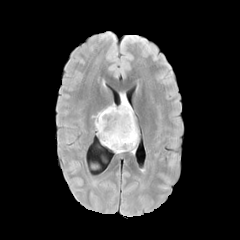
FLAIR magnetic resonance.
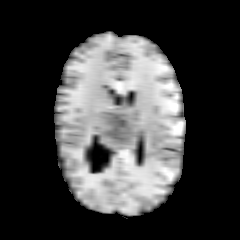
T1-weighted magnetic resonance of the same slice.
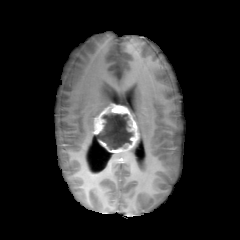
Same slice, post-contrast T1-weighted MR image.
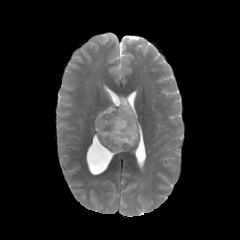
T2-weighted MRI.
Brain.
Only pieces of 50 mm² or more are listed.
peritumoral edema — 120, 95, 134, 115
enhancing tumor — 94, 103, 139, 153
necrotic tumor core — 98, 114, 133, 149